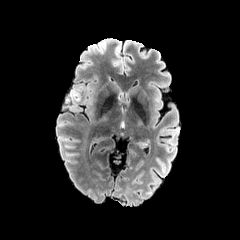
FLAIR MRI.
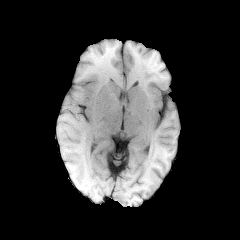
T1-weighted magnetic resonance.
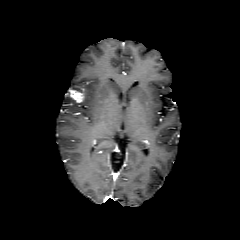
Post-contrast T1-weighted magnetic resonance.
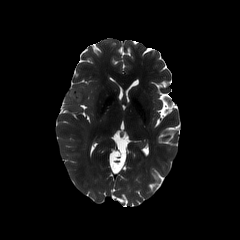
T2-weighted magnetic resonance.
Head
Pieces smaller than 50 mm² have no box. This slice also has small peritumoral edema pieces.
Annotated regions:
* enhancing tumor: {"x1": 70, "y1": 90, "x2": 83, "y2": 102}